FLAIR magnetic resonance.
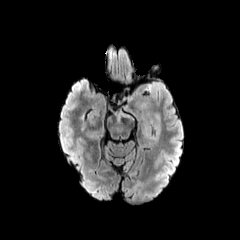
T1-weighted magnetic resonance.
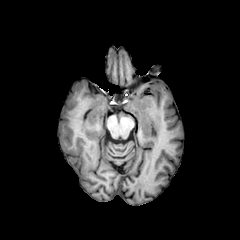
Post-contrast T1-weighted MR.
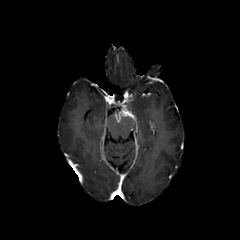
T2-weighted magnetic resonance.
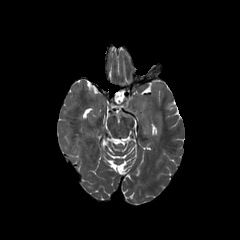
The enhancing tumor is bounded by [115,98,132,122]. The peritumoral edema appears at [135,95,162,139].